FLAIR MR image.
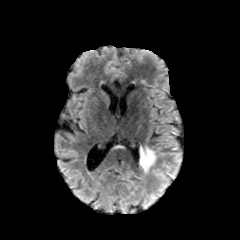
T1-weighted MRI.
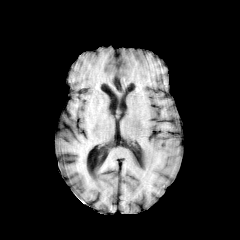
Post-contrast T1-weighted magnetic resonance.
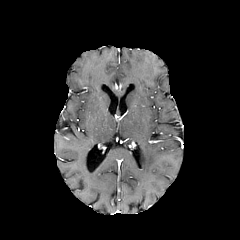
T2-weighted MR.
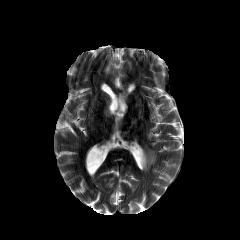
Axial plane, 240x240, Brain
peritumoral edema: bbox(140, 147, 156, 171)